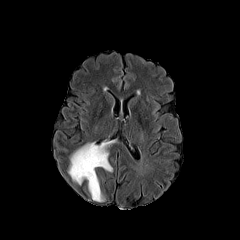
FLAIR magnetic resonance.
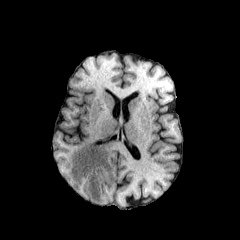
T1-weighted MRI of the same slice.
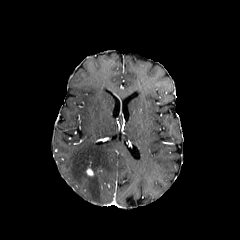
Same slice, post-contrast T1-weighted MR.
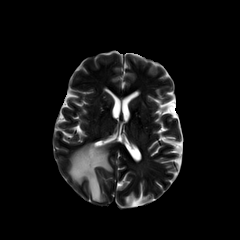
T2-weighted magnetic resonance.
240x240 px; Axial plane
peritumoral edema: <bbox>68, 141, 112, 201</bbox> | enhancing tumor: <bbox>86, 167, 94, 176</bbox>